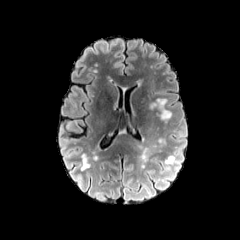
FLAIR MR image.
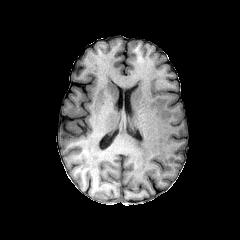
T1-weighted magnetic resonance.
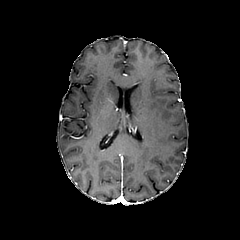
Same slice, post-contrast T1-weighted MR image.
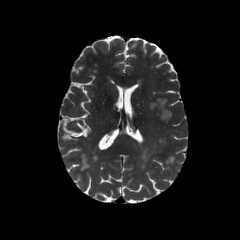
T2-weighted magnetic resonance of the same slice.
Axial slice, Head
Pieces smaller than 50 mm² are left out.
peritumoral edema: bounding box 138,144,161,162; 165,156,174,163